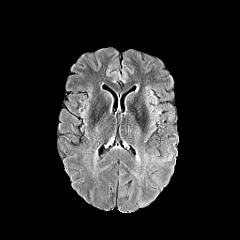
FLAIR MRI.
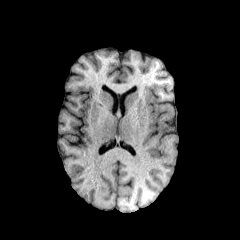
T1-weighted MR image of the same slice.
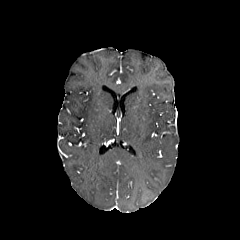
Post-contrast T1-weighted MRI.
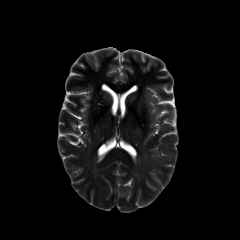
T2-weighted MR of the same slice.
Head
The peritumoral edema is bounded by box=[144, 153, 172, 165].